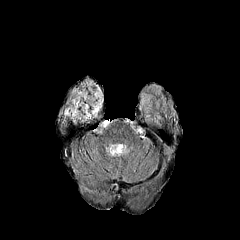
FLAIR magnetic resonance.
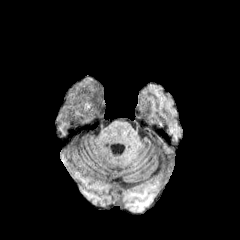
T1-weighted MRI.
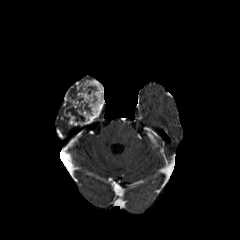
Post-contrast T1-weighted MR image.
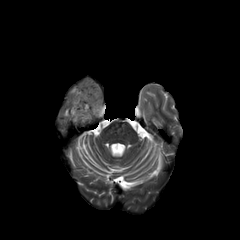
T2-weighted MR.
Axial slice. Brain.
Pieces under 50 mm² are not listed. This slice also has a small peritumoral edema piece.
necrotic tumor core: region(66, 105, 84, 121)
enhancing tumor: region(64, 80, 104, 125)